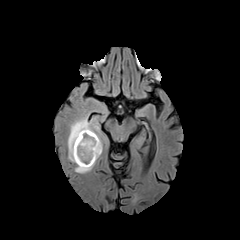
FLAIR MR image.
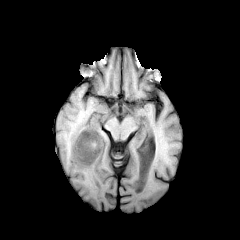
T1-weighted MRI.
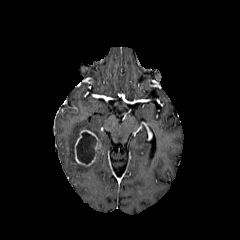
Post-contrast T1-weighted MR of the same slice.
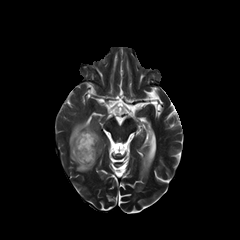
T2-weighted MRI of the same slice.
Image size 240x240, Axial view
The necrotic tumor core is located at <bbox>76, 132, 97, 164</bbox>. The peritumoral edema appears at <bbox>67, 82, 109, 174</bbox>. The enhancing tumor is at <bbox>74, 130, 101, 166</bbox>.